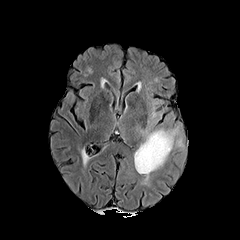
FLAIR MR image.
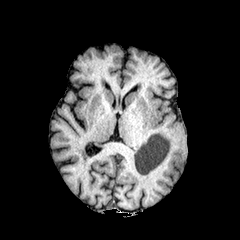
T1-weighted MR image of the same slice.
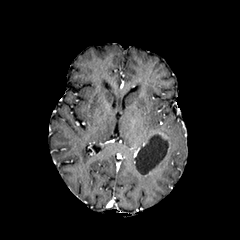
Post-contrast T1-weighted MR of the same slice.
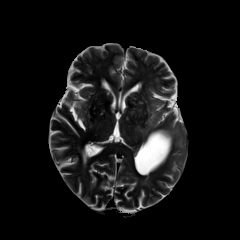
T2-weighted MR image of the same slice.
Head
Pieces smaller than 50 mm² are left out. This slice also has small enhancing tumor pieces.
{"necrotic_tumor_core": ["<box>135,133,169,173</box>"], "peritumoral_edema": ["<box>139,128,178,183</box>"]}